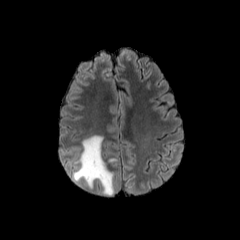
FLAIR magnetic resonance.
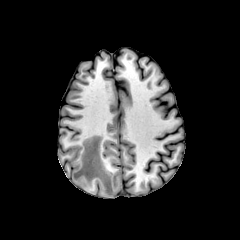
Same slice, T1-weighted magnetic resonance.
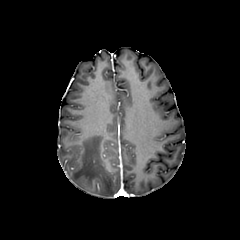
Same slice, post-contrast T1-weighted magnetic resonance.
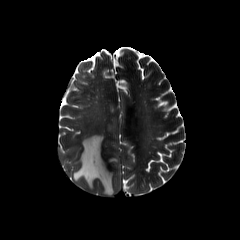
T2-weighted MR of the same slice.
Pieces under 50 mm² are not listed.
Annotated regions:
- peritumoral edema: bbox=[73, 135, 114, 195]